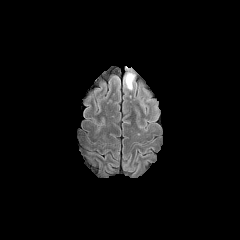
FLAIR MR.
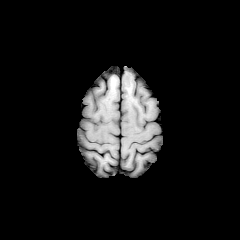
Same slice, T1-weighted MR image.
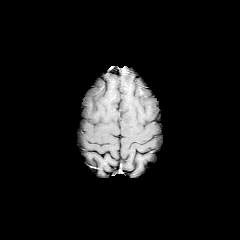
Post-contrast T1-weighted MR image.
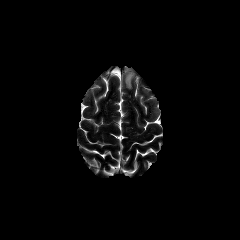
T2-weighted MRI of the same slice.
Head, Axial slice, 240x240 px
The peritumoral edema appears at 124 67 134 89.